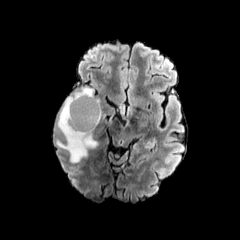
FLAIR MR image.
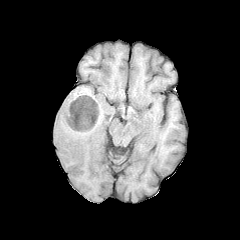
T1-weighted MR.
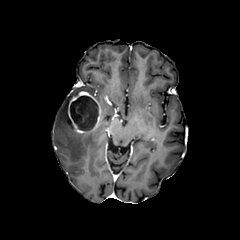
Post-contrast T1-weighted MR.
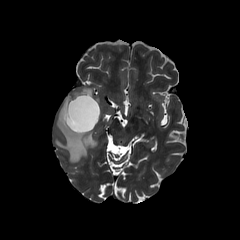
Same slice, T2-weighted MRI.
Head. Axial plane. Image size 240x240.
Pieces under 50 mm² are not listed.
Annotated regions:
• peritumoral edema: bbox=[56, 86, 97, 162]
• necrotic tumor core: bbox=[70, 95, 98, 130]
• enhancing tumor: bbox=[67, 91, 101, 133]